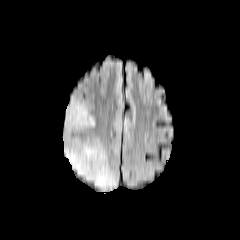
FLAIR MR image.
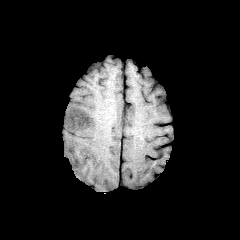
T1-weighted MRI.
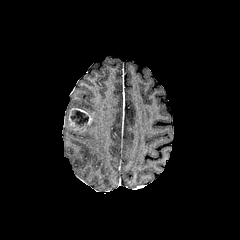
Post-contrast T1-weighted MR.
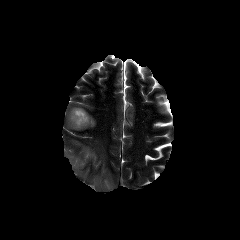
T2-weighted magnetic resonance.
240x240 px
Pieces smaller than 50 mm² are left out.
The necrotic tumor core lies within x1=70, y1=110, x2=88, y2=127. The 2 largest peritumoral edema regions appear at x1=64, y1=101, x2=87, y2=130; x1=64, y1=141, x2=116, y2=189. The enhancing tumor is at x1=67, y1=108, x2=92, y2=130.